Brain | Slice 79 of 155 | Image width 240 mm
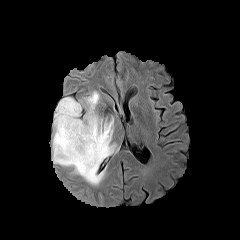
FLAIR MR image.
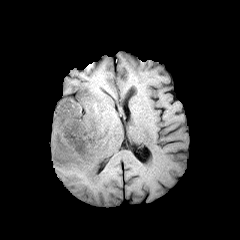
Same slice, T1-weighted magnetic resonance.
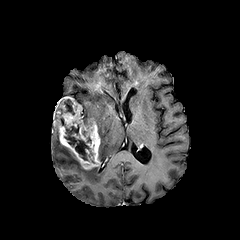
Same slice, post-contrast T1-weighted MR.
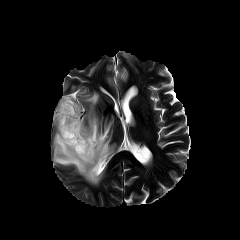
T2-weighted magnetic resonance of the same slice.
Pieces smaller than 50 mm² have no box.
Annotated regions:
* necrotic tumor core: box=[59, 117, 90, 160]; box=[64, 99, 74, 115]
* peritumoral edema: box=[53, 126, 105, 184]; box=[82, 91, 118, 162]
* enhancing tumor: box=[53, 96, 100, 169]